Axial slice. Slice index 71. Brain.
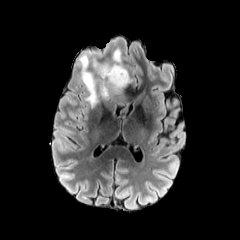
FLAIR MRI.
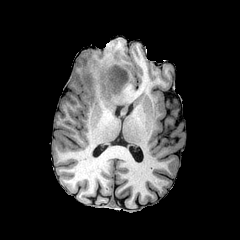
T1-weighted MR.
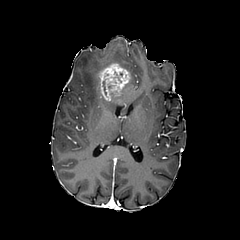
Post-contrast T1-weighted magnetic resonance of the same slice.
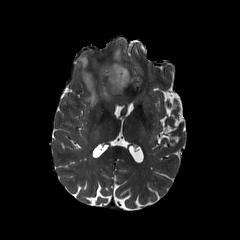
T2-weighted MR image of the same slice.
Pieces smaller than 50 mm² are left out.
enhancing tumor — {"x1": 98, "y1": 65, "x2": 130, "y2": 100}
necrotic tumor core — {"x1": 102, "y1": 75, "x2": 124, "y2": 90}
peritumoral edema — {"x1": 93, "y1": 49, "x2": 126, "y2": 72}, {"x1": 79, "y1": 55, "x2": 101, "y2": 107}